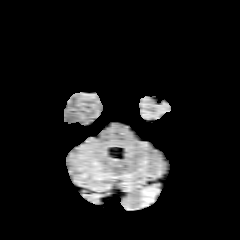
FLAIR magnetic resonance.
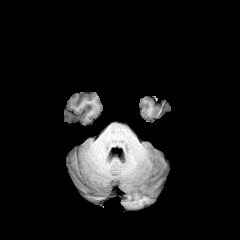
T1-weighted MRI.
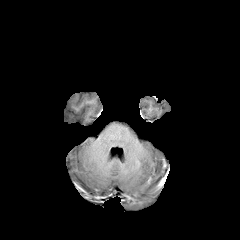
Same slice, post-contrast T1-weighted MR image.
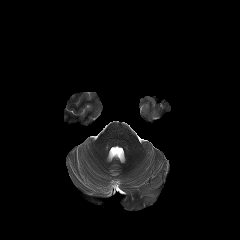
T2-weighted MR.
Head; Axial view
peritumoral edema: [142,186,157,202]